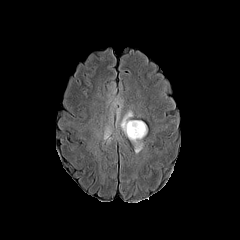
FLAIR magnetic resonance.
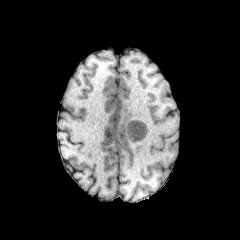
Same slice, T1-weighted magnetic resonance.
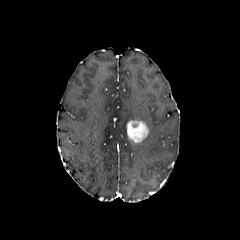
Post-contrast T1-weighted MR image.
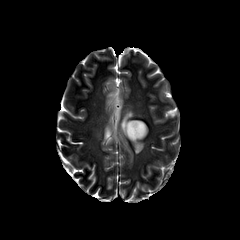
T2-weighted MRI of the same slice.
Axial slice | Head
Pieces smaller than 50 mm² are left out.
The enhancing tumor lies within <bbox>126, 120, 148, 143</bbox>. The 3 largest peritumoral edema regions are located at <bbox>116, 102, 133, 136</bbox>, <bbox>104, 125, 111, 139</bbox>, <bbox>132, 141, 144, 153</bbox>.